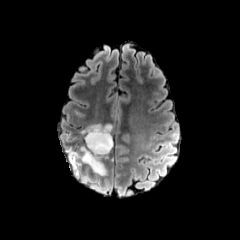
FLAIR MR.
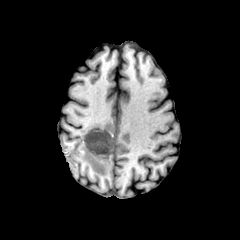
T1-weighted MR image.
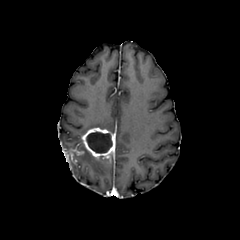
Same slice, post-contrast T1-weighted MRI.
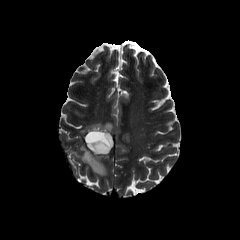
T2-weighted MRI.
Head
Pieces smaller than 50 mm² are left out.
The necrotic tumor core is bounded by bbox=[86, 132, 112, 153]. 2 enhancing tumor regions are bounded by bbox=[68, 149, 83, 162]; bbox=[82, 127, 114, 161]. The 2 largest peritumoral edema regions appear at bbox=[81, 123, 112, 134]; bbox=[75, 145, 107, 175].